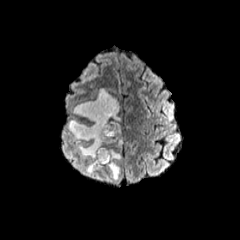
FLAIR MRI.
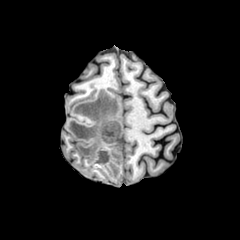
T1-weighted MRI.
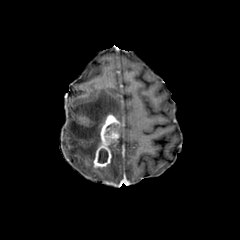
Same slice, post-contrast T1-weighted magnetic resonance.
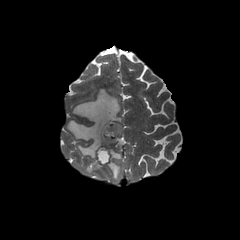
T2-weighted magnetic resonance.
Head; Axial plane
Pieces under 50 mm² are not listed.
<segmentation>
  <necrotic_tumor_core>98, 149, 108, 163; 104, 123, 119, 141</necrotic_tumor_core>
  <peritumoral_edema>105, 148, 121, 179; 114, 134, 122, 147; 67, 88, 121, 174</peritumoral_edema>
  <enhancing_tumor>93, 113, 120, 168</enhancing_tumor>
</segmentation>